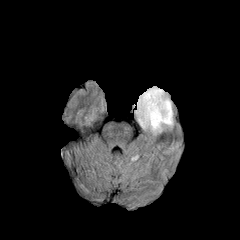
FLAIR MRI.
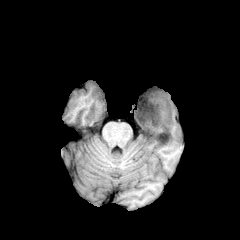
T1-weighted magnetic resonance.
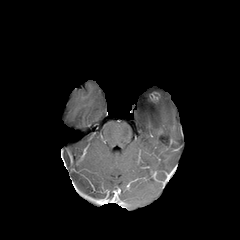
Same slice, post-contrast T1-weighted MRI.
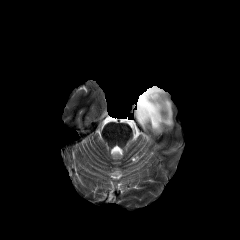
T2-weighted MRI.
Axial slice. Head.
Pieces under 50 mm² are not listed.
<segmentation>
  <peritumoral_edema>region(134, 86, 173, 135)</peritumoral_edema>
  <enhancing_tumor>region(137, 90, 161, 126)</enhancing_tumor>
  <necrotic_tumor_core>region(138, 94, 160, 124)</necrotic_tumor_core>
</segmentation>